FLAIR magnetic resonance.
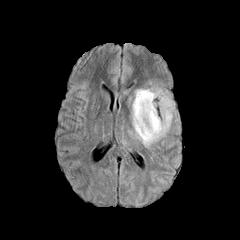
T1-weighted MR image.
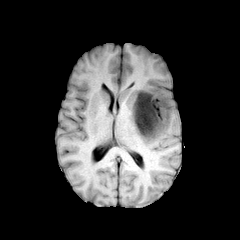
Post-contrast T1-weighted MR image.
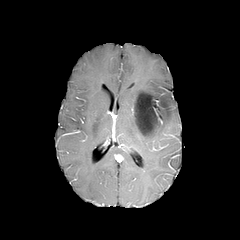
T2-weighted MR.
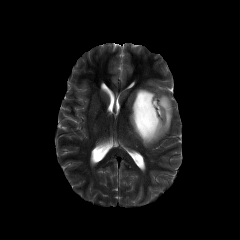
Axial view
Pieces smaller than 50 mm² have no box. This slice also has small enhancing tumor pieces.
The necrotic tumor core lies within x1=136 y1=94 x2=157 y2=134. The peritumoral edema appears at x1=130 y1=88 x2=173 y2=147.